Slice index 53 | Image size 240x240
FLAIR magnetic resonance.
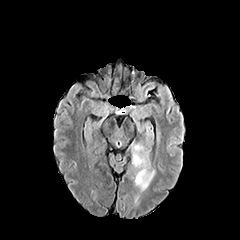
T1-weighted MR.
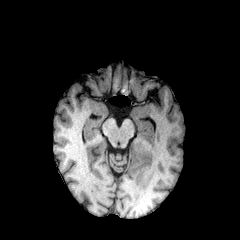
Post-contrast T1-weighted MR image.
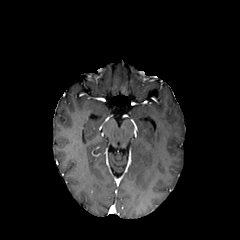
T2-weighted MRI.
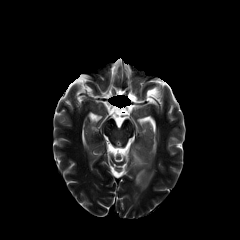
peritumoral edema: bounding box box(132, 144, 154, 190)